FLAIR MRI.
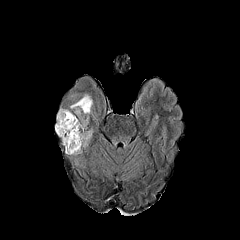
T1-weighted MR.
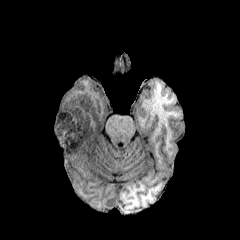
Post-contrast T1-weighted MR image.
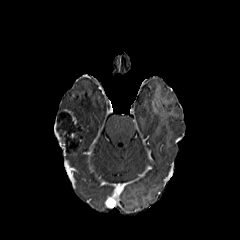
T2-weighted MR.
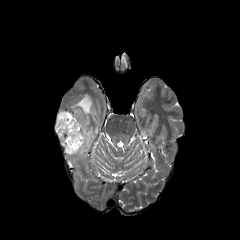
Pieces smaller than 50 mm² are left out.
The necrotic tumor core appears at [x1=56, y1=112, x2=86, y2=153]. The 2 largest enhancing tumor regions are located at [x1=54, y1=126, x2=65, y2=151], [x1=65, y1=110, x2=76, y2=124]. The largest peritumoral edema region is bounded by [x1=70, y1=95, x2=92, y2=126].